Image width 240 mm, 1.00 mm slice spacing; Axial plane
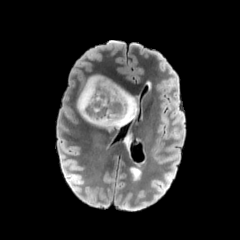
FLAIR MR image.
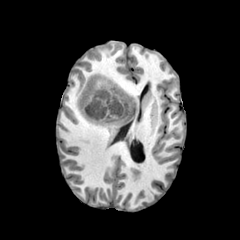
T1-weighted MR of the same slice.
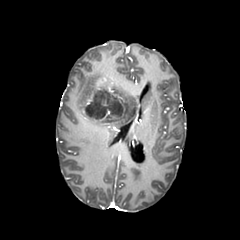
Post-contrast T1-weighted magnetic resonance of the same slice.
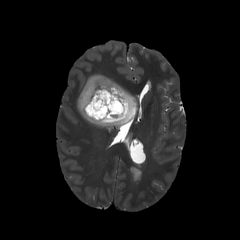
T2-weighted MR image.
enhancing_tumor:
  - x1=87, y1=109, x2=121, y2=120
  - x1=84, y1=77, x2=125, y2=115
necrotic_tumor_core:
  - x1=86, y1=92, x2=122, y2=118
peritumoral_edema:
  - x1=77, y1=75, x2=137, y2=130